Head, Slice 103 of 155
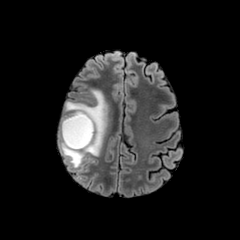
FLAIR MRI.
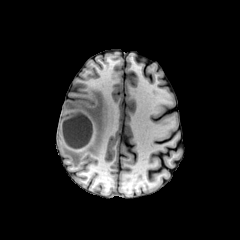
Same slice, T1-weighted MRI.
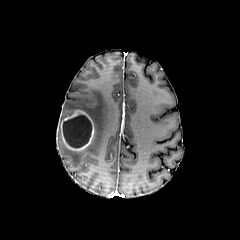
Post-contrast T1-weighted magnetic resonance.
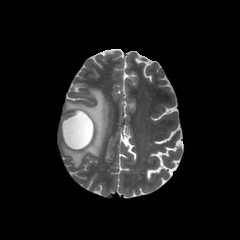
T2-weighted MR of the same slice.
<segmentation>
  <necrotic_tumor_core>(left=63, top=114, right=91, bottom=148)</necrotic_tumor_core>
  <peritumoral_edema>(left=58, top=89, right=108, bottom=167)</peritumoral_edema>
  <enhancing_tumor>(left=60, top=109, right=94, bottom=150)</enhancing_tumor>
</segmentation>